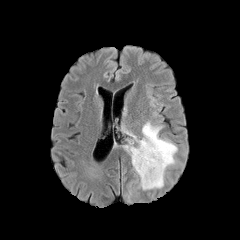
FLAIR MR.
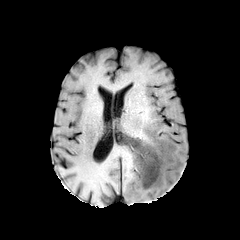
T1-weighted MR image.
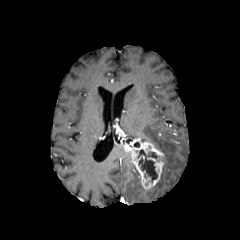
Post-contrast T1-weighted magnetic resonance of the same slice.
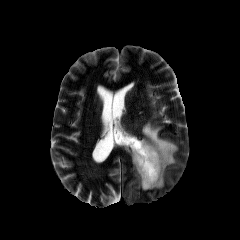
Same slice, T2-weighted magnetic resonance.
Axial view. Brain.
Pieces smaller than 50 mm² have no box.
Findings:
- peritumoral edema: (left=122, top=123, right=136, bottom=138), (left=141, top=121, right=177, bottom=189)
- necrotic tumor core: (left=137, top=149, right=157, bottom=181)
- enhancing tumor: (left=123, top=137, right=164, bottom=189)